Head, Axial plane
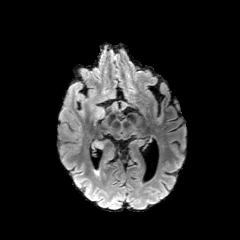
FLAIR magnetic resonance.
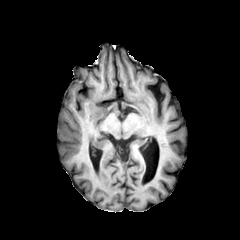
Same slice, T1-weighted magnetic resonance.
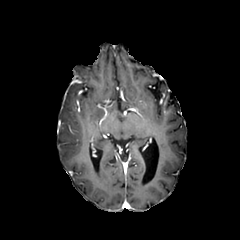
Same slice, post-contrast T1-weighted MRI.
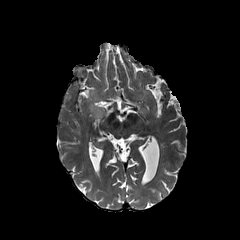
T2-weighted MRI of the same slice.
{
  "peritumoral_edema": [
    "left=93, top=137, right=110, bottom=148",
    "left=89, top=102, right=104, bottom=125",
    "left=69, top=82, right=83, bottom=89"
  ]
}